Brain. Slice 25/155. Axial view.
FLAIR MRI.
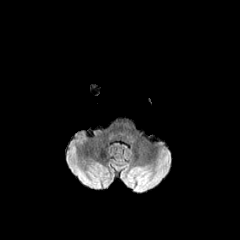
T1-weighted MR image.
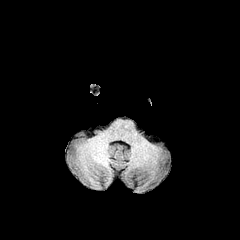
Post-contrast T1-weighted MRI.
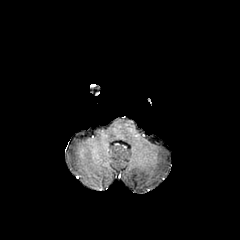
T2-weighted MR image.
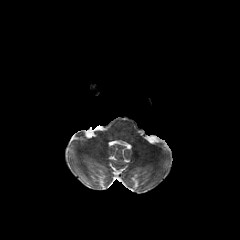
peritumoral edema — bbox(90, 85, 100, 94)